Image covers 240 mm x 240 mm. Slice 115 of 155. Axial slice.
FLAIR MR image.
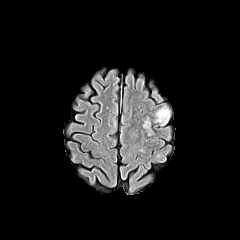
T1-weighted magnetic resonance.
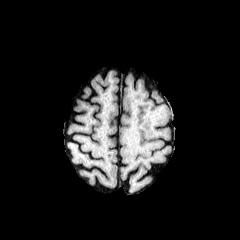
Post-contrast T1-weighted magnetic resonance.
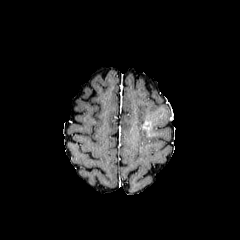
T2-weighted MR image.
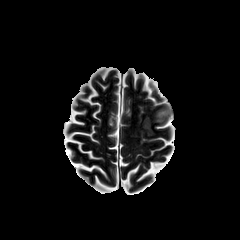
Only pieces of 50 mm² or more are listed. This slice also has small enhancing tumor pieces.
The largest peritumoral edema region is bounded by x1=153, y1=106, x2=169, y2=125.